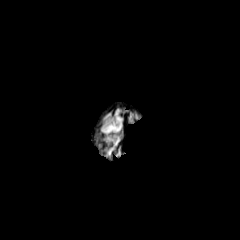
FLAIR MR.
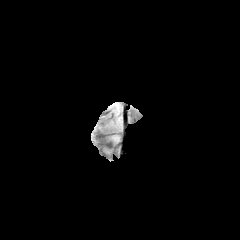
T1-weighted MR of the same slice.
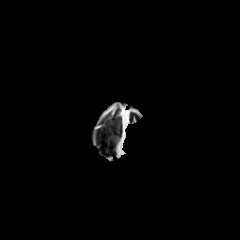
Post-contrast T1-weighted MRI.
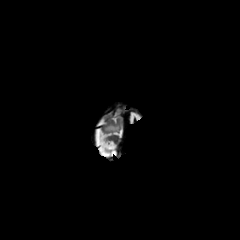
T2-weighted MRI.
240x240 px; Brain
The peritumoral edema is located at x1=103 y1=124 x2=122 y2=132.